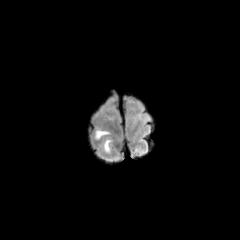
FLAIR magnetic resonance.
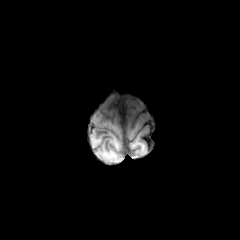
T1-weighted MR of the same slice.
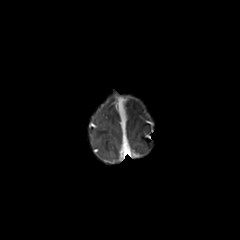
Post-contrast T1-weighted MRI.
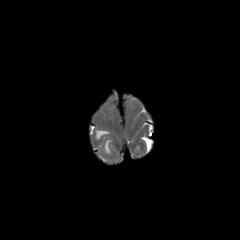
T2-weighted MR of the same slice.
Image size 240x240
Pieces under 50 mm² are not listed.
The 2 largest peritumoral edema regions are located at (x1=94, y1=129, x2=110, y2=139), (x1=99, y1=138, x2=112, y2=154).